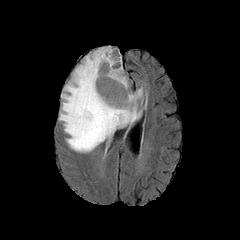
FLAIR magnetic resonance.
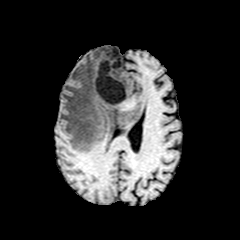
T1-weighted MRI.
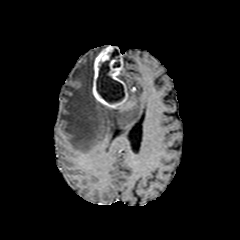
Same slice, post-contrast T1-weighted magnetic resonance.
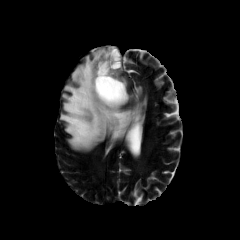
T2-weighted MR image.
<segmentation>
  <necrotic_tumor_core><box>96,48,124,103</box></necrotic_tumor_core>
  <peritumoral_edema><box>119,71,128,91</box>, <box>59,47,142,152</box></peritumoral_edema>
  <enhancing_tumor><box>92,45,127,108</box></enhancing_tumor>
</segmentation>